FLAIR MR image.
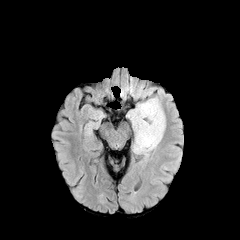
T1-weighted MRI.
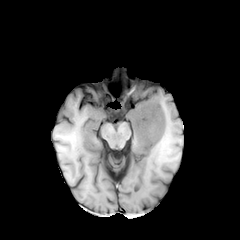
Post-contrast T1-weighted MR image.
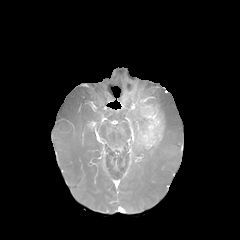
T2-weighted MRI.
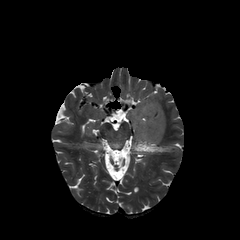
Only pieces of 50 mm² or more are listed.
peritumoral edema: bounding box 144, 97, 165, 131; 127, 103, 160, 155
enhancing tumor: bounding box 134, 101, 164, 148